Axial view
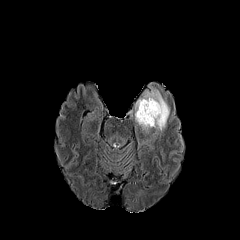
FLAIR MR.
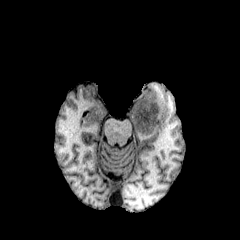
T1-weighted magnetic resonance of the same slice.
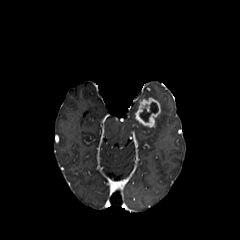
Same slice, post-contrast T1-weighted MRI.
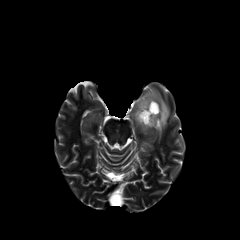
Same slice, T2-weighted MR.
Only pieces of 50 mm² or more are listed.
enhancing tumor = l=135, t=97, r=160, b=127
necrotic tumor core = l=139, t=102, r=158, b=121
peritumoral edema = l=130, t=84, r=169, b=138